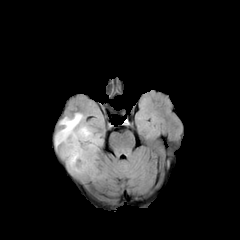
FLAIR magnetic resonance.
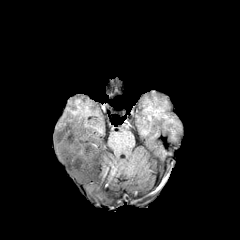
T1-weighted MR of the same slice.
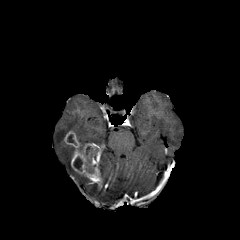
Post-contrast T1-weighted MRI of the same slice.
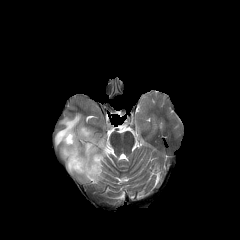
Same slice, T2-weighted MR image.
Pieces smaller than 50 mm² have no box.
necrotic tumor core: bounding box [74,157,82,170]
enhancing tumor: bounding box [63,130,101,182]
peritumoral edema: bounding box [54,113,102,179]